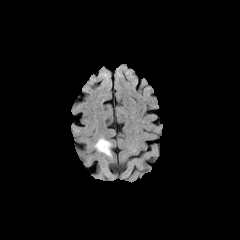
FLAIR MR.
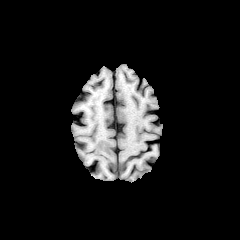
Same slice, T1-weighted MRI.
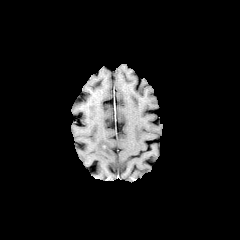
Post-contrast T1-weighted MR.
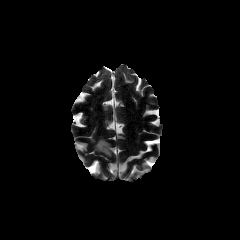
Same slice, T2-weighted MR image.
Head. Axial slice. 240x240.
{"peritumoral_edema": ["rect(94, 138, 111, 156)"]}